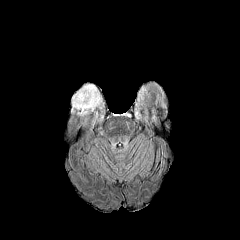
FLAIR MR.
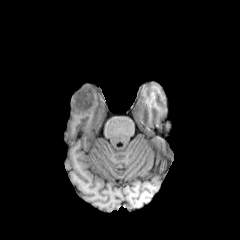
T1-weighted MR image of the same slice.
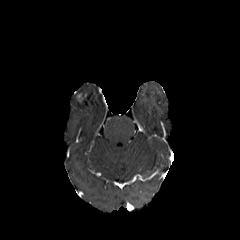
Same slice, post-contrast T1-weighted MR image.
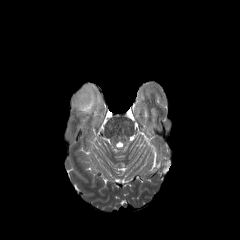
Same slice, T2-weighted magnetic resonance.
Brain | Axial slice
The enhancing tumor is at 76,92,88,103. The peritumoral edema is at 70,83,104,117.